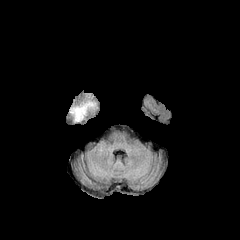
FLAIR MR image.
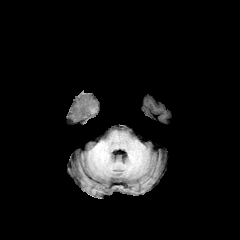
T1-weighted MR of the same slice.
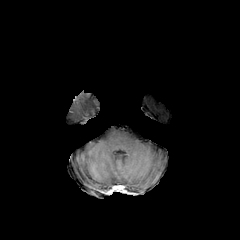
Same slice, post-contrast T1-weighted MR image.
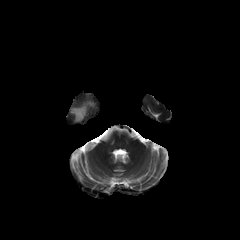
T2-weighted MRI of the same slice.
240x240
The peritumoral edema is located at 70:100:95:121.